FLAIR MR image.
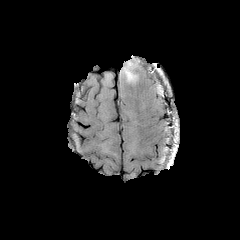
T1-weighted MR image.
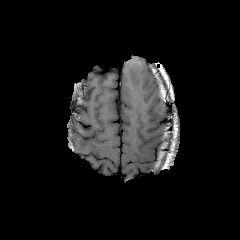
Post-contrast T1-weighted MRI.
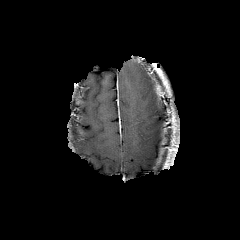
T2-weighted MR image.
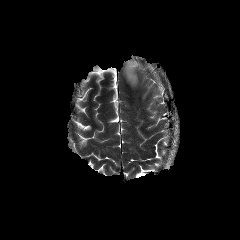
Axial view.
The peritumoral edema is located at box=[124, 61, 137, 82].